FLAIR magnetic resonance.
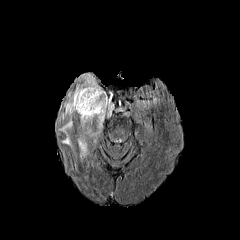
T1-weighted MR.
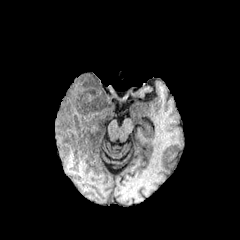
Post-contrast T1-weighted MRI.
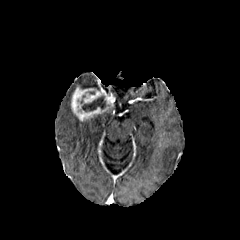
T2-weighted MRI.
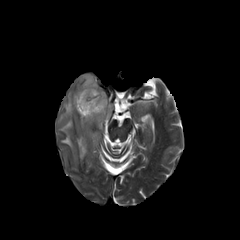
Axial slice | Image size 240x240
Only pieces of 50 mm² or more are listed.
The 4 largest peritumoral edema regions are located at bbox=[77, 73, 99, 89]; bbox=[77, 135, 87, 158]; bbox=[59, 91, 74, 147]; bbox=[81, 107, 113, 128]. The enhancing tumor is located at bbox=[71, 86, 113, 121]. The largest necrotic tumor core region appears at bbox=[82, 96, 106, 111].